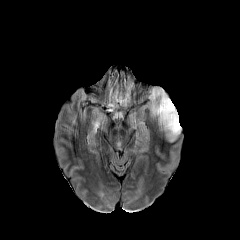
FLAIR MR.
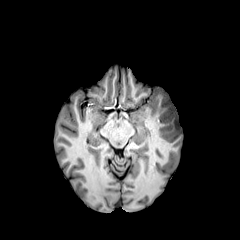
T1-weighted MR image.
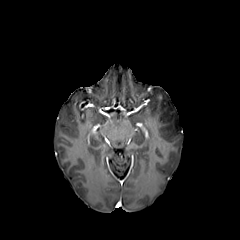
Post-contrast T1-weighted MRI.
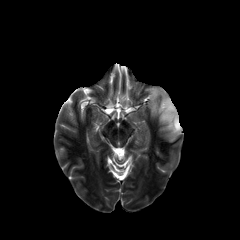
T2-weighted magnetic resonance of the same slice.
Image size 240x240. Head.
Annotated regions:
* peritumoral edema: <box>150,88,181,141</box>